Slice index 65, Axial plane
FLAIR magnetic resonance.
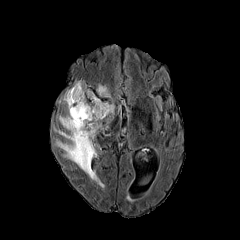
T1-weighted magnetic resonance.
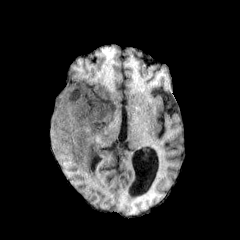
Post-contrast T1-weighted MRI.
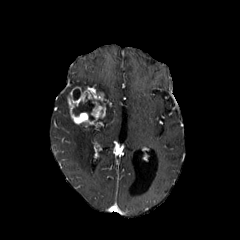
T2-weighted magnetic resonance.
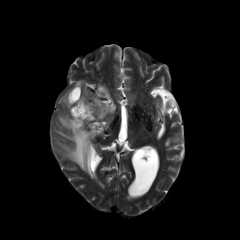
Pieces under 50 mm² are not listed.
peritumoral edema: bounding box x1=54 y1=87 x2=103 y2=182, x1=106 y1=102 x2=114 y2=115, x1=96 y1=84 x2=110 y2=97
necrotic tumor core: bounding box x1=73 y1=89 x2=80 y2=99, x1=73 y1=99 x2=105 y2=120
enhancing tumor: bounding box x1=67 y1=86 x2=107 y2=128